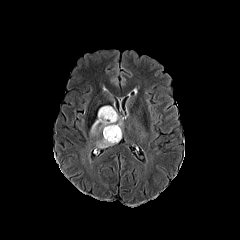
FLAIR MRI.
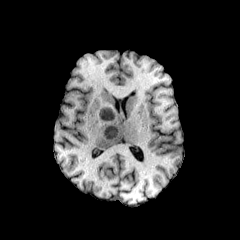
T1-weighted magnetic resonance.
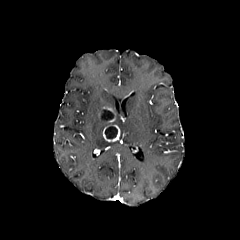
Post-contrast T1-weighted magnetic resonance.
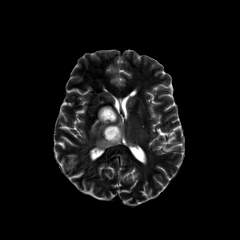
T2-weighted MR image.
Axial slice
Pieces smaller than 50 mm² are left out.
2 necrotic tumor core regions are located at box=[105, 126, 117, 138]; box=[101, 109, 114, 120]. The largest enhancing tumor region lies within box=[101, 106, 120, 142]. The 3 largest peritumoral edema regions appear at box=[90, 116, 107, 135]; box=[113, 114, 122, 129]; box=[96, 138, 118, 148].